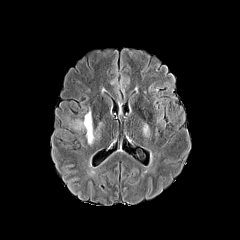
FLAIR magnetic resonance.
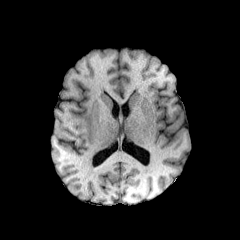
T1-weighted magnetic resonance.
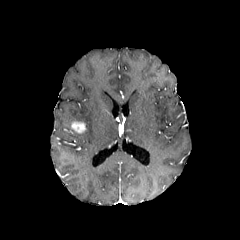
Post-contrast T1-weighted MR image of the same slice.
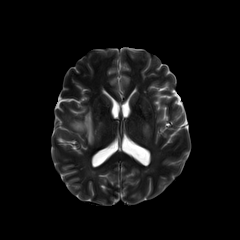
T2-weighted MR image.
Brain. Axial view.
enhancing_tumor:
  - x1=71 y1=121 x2=86 y2=133
peritumoral_edema:
  - x1=143 y1=124 x2=149 y2=136
  - x1=82 y1=111 x2=94 y2=144